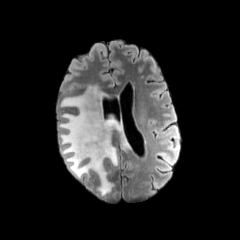
FLAIR magnetic resonance.
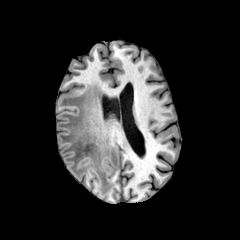
Same slice, T1-weighted MR image.
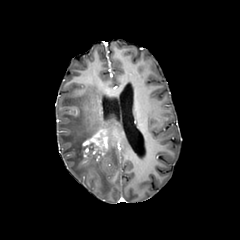
Post-contrast T1-weighted magnetic resonance.
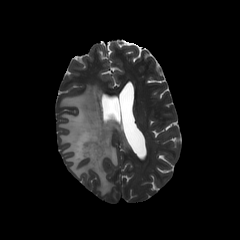
T2-weighted magnetic resonance of the same slice.
240x240 px
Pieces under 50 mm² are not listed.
Findings:
- enhancing tumor: [81,130,108,161]
- necrotic tumor core: [82,143,94,155]
- peritumoral edema: [59,85,130,196]